FLAIR MR.
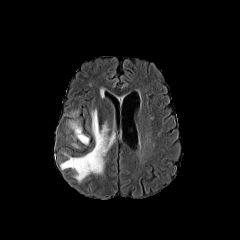
T1-weighted MRI.
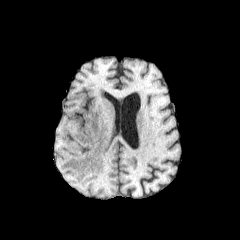
Post-contrast T1-weighted MRI.
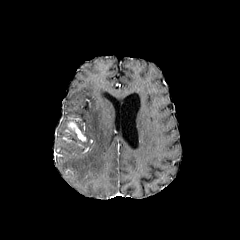
T2-weighted MR image.
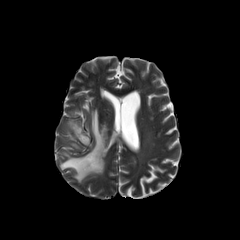
Brain
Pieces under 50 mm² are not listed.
peritumoral edema — box=[60, 109, 114, 182]
enhancing tumor — box=[67, 119, 86, 141]